Axial slice
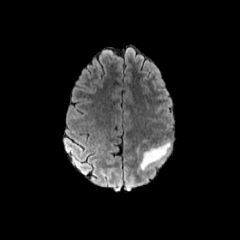
FLAIR MR image.
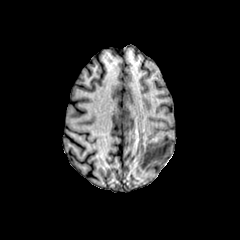
T1-weighted MR.
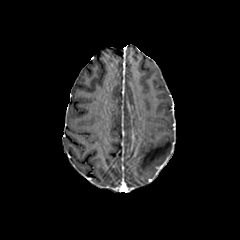
Same slice, post-contrast T1-weighted MRI.
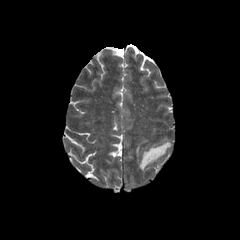
Same slice, T2-weighted MR.
peritumoral edema = rect(139, 141, 171, 169)